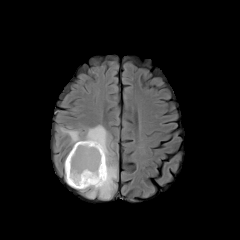
FLAIR MR.
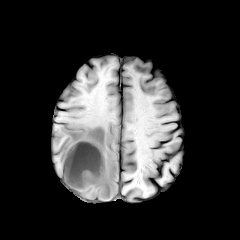
T1-weighted MR image.
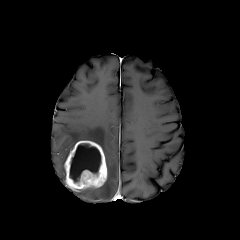
Post-contrast T1-weighted MR image.
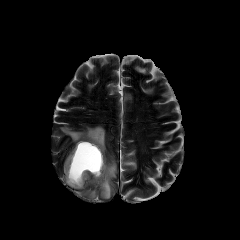
T2-weighted MR of the same slice.
240x240; Head
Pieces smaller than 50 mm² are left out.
The largest peritumoral edema region appears at (left=60, top=125, right=117, bottom=199). The enhancing tumor appears at (left=64, top=140, right=107, bottom=189). The necrotic tumor core is at (left=69, top=144, right=100, bottom=182).